Slice 75 of 155; Image size 240x240
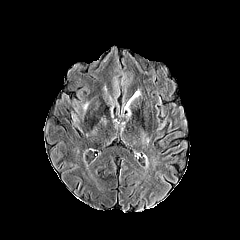
FLAIR MR image.
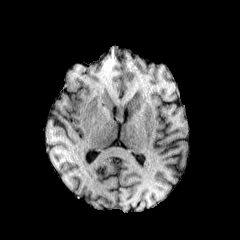
Same slice, T1-weighted MR.
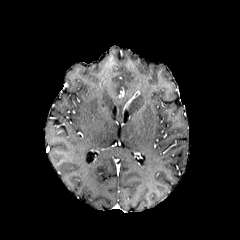
Post-contrast T1-weighted MRI.
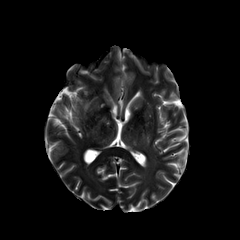
T2-weighted MR image.
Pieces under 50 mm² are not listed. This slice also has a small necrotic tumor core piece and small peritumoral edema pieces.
The enhancing tumor lies within l=124, t=91, r=139, b=109.